FLAIR MR image.
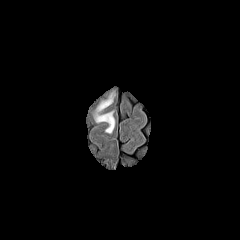
T1-weighted MR image.
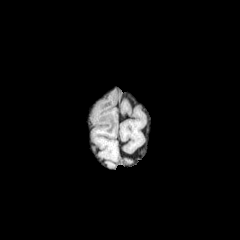
Post-contrast T1-weighted magnetic resonance.
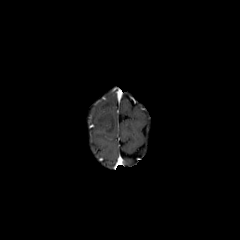
T2-weighted MRI.
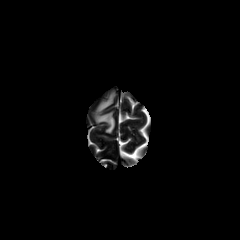
Image size 240x240, Head
peritumoral_edema:
  - [x1=95, y1=93, x2=114, y2=133]